FLAIR MR.
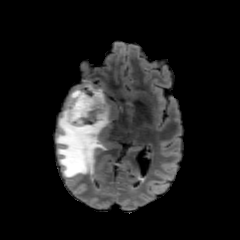
T1-weighted magnetic resonance.
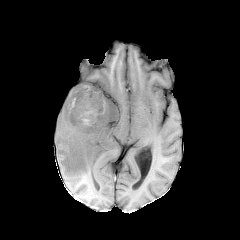
Post-contrast T1-weighted magnetic resonance.
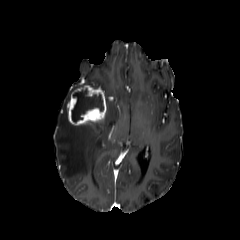
T2-weighted magnetic resonance.
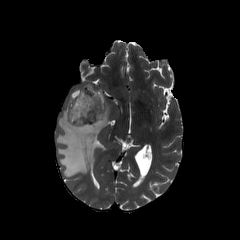
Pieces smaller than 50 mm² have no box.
enhancing_tumor:
  - bbox=[67, 83, 106, 125]
necrotic_tumor_core:
  - bbox=[71, 89, 103, 121]
peritumoral_edema:
  - bbox=[85, 82, 106, 92]
  - bbox=[56, 92, 120, 177]